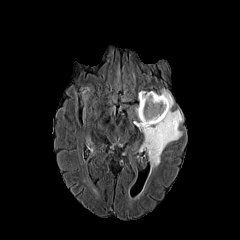
FLAIR magnetic resonance.
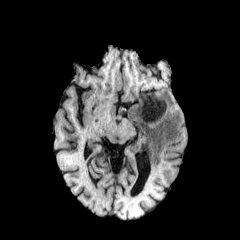
T1-weighted MRI.
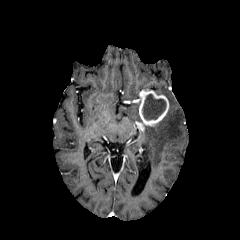
Same slice, post-contrast T1-weighted MRI.
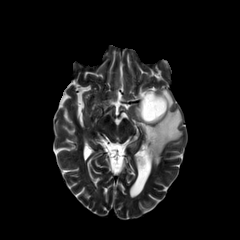
T2-weighted magnetic resonance.
Head | Axial plane
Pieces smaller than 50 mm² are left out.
{
  "peritumoral_edema": [
    "left=134, top=88, right=183, bottom=170"
  ],
  "enhancing_tumor": [
    "left=139, top=91, right=169, bottom=126"
  ],
  "necrotic_tumor_core": [
    "left=142, top=94, right=165, bottom=119"
  ]
}